Axial view, Head
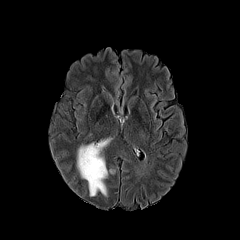
FLAIR magnetic resonance.
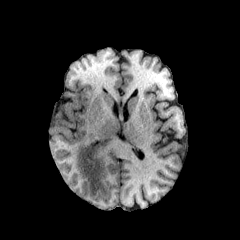
Same slice, T1-weighted magnetic resonance.
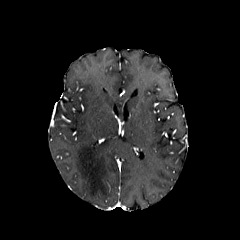
Post-contrast T1-weighted magnetic resonance.
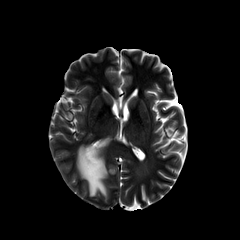
T2-weighted MR of the same slice.
{"peritumoral_edema": ["(x1=77, y1=139, x2=110, y2=196)"]}